Slice 79/155
FLAIR MR image.
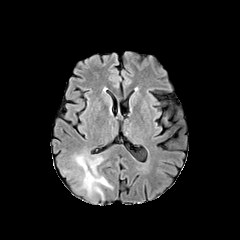
T1-weighted magnetic resonance.
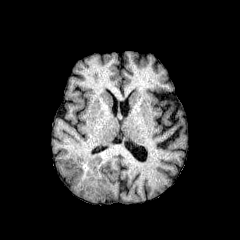
Post-contrast T1-weighted magnetic resonance.
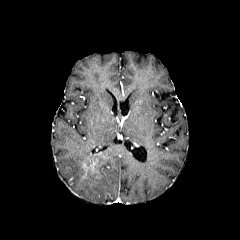
T2-weighted MR image.
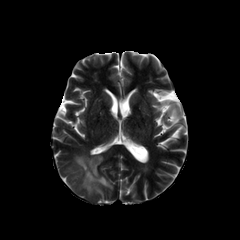
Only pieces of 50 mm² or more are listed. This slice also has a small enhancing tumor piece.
peritumoral edema: [x1=75, y1=155, x2=112, y2=194]